240x240 px; Brain; Axial plane
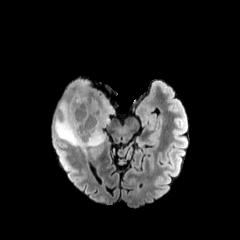
FLAIR MR.
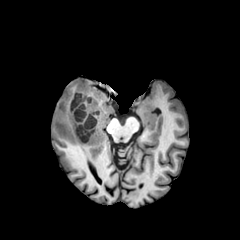
Same slice, T1-weighted MRI.
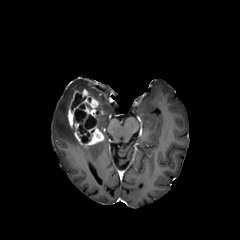
Post-contrast T1-weighted MR.
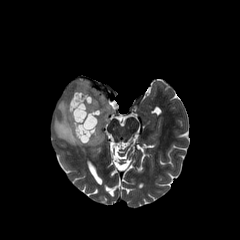
T2-weighted MRI.
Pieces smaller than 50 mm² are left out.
<segmentation>
  <enhancing_tumor>x1=68 y1=89 x2=104 y2=145</enhancing_tumor>
  <necrotic_tumor_core>x1=71 y1=93 x2=81 y2=108, x1=82 y1=133 x2=89 y2=142, x1=75 y1=109 x2=85 y2=121, x1=79 y1=115 x2=96 y2=133</necrotic_tumor_core>
  <peritumoral_edema>x1=76 y1=80 x2=113 y2=131, x1=54 y1=99 x2=86 y2=150</peritumoral_edema>
</segmentation>